Head | Slice 66/155
FLAIR MRI.
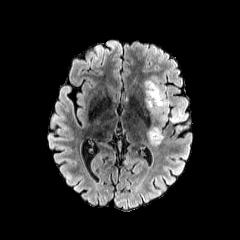
T1-weighted magnetic resonance.
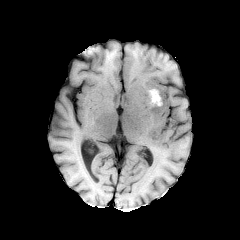
Post-contrast T1-weighted MRI.
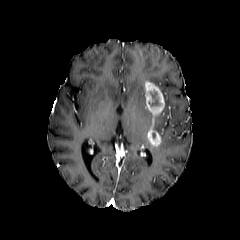
T2-weighted MR image.
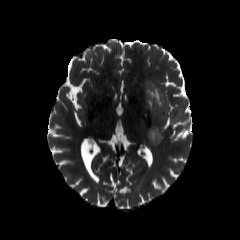
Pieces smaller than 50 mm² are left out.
peritumoral edema: bounding box [x1=170, y1=101, x2=187, y2=123], [x1=147, y1=77, x2=169, y2=138]
enhancing tumor: bounding box [x1=145, y1=81, x2=165, y2=146]
necrotic tumor core: bounding box [x1=150, y1=90, x2=160, y2=106]